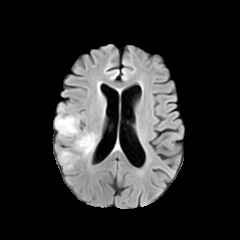
FLAIR MR image.
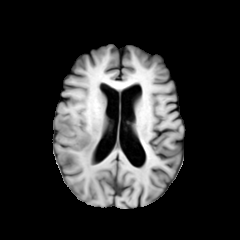
T1-weighted MRI of the same slice.
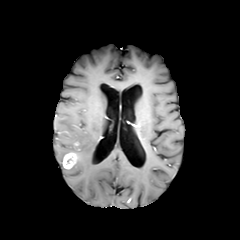
Post-contrast T1-weighted MR image.
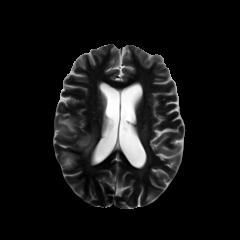
T2-weighted MR image of the same slice.
enhancing_tumor:
  - 62:153:77:168
peritumoral_edema:
  - 55:116:78:136
  - 60:151:69:162
  - 75:132:97:156